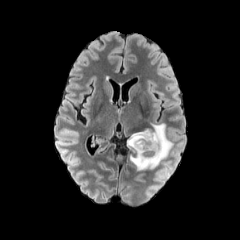
FLAIR magnetic resonance.
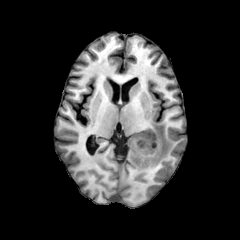
T1-weighted magnetic resonance of the same slice.
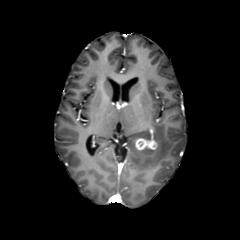
Post-contrast T1-weighted MR of the same slice.
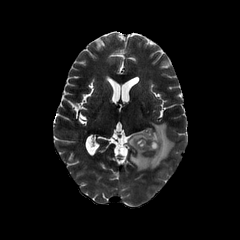
T2-weighted MR image.
Brain; Image size 240x240; Axial view
enhancing tumor: {"x1": 135, "y1": 137, "x2": 157, "y2": 151}
peritumoral edema: {"x1": 125, "y1": 122, "x2": 173, "y2": 170}